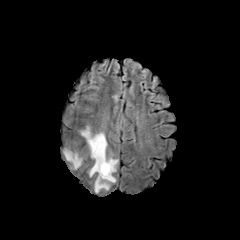
FLAIR MR image.
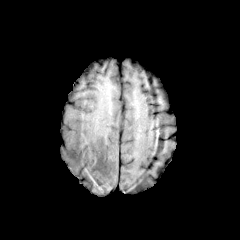
T1-weighted MRI of the same slice.
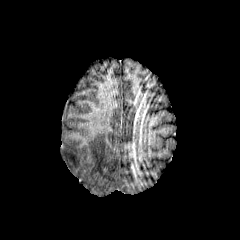
Post-contrast T1-weighted MRI.
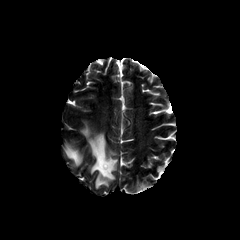
T2-weighted MRI.
Axial view.
peritumoral edema: {"x1": 63, "y1": 147, "x2": 82, "y2": 168}, {"x1": 81, "y1": 126, "x2": 117, "y2": 192}